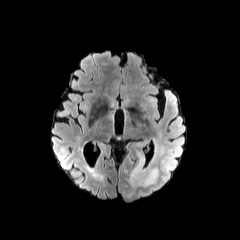
FLAIR magnetic resonance.
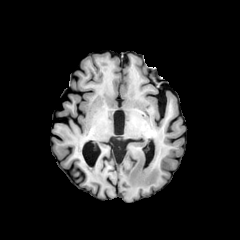
Same slice, T1-weighted MRI.
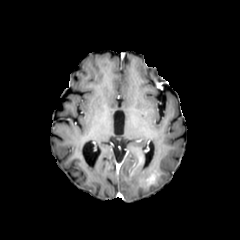
Post-contrast T1-weighted MR.
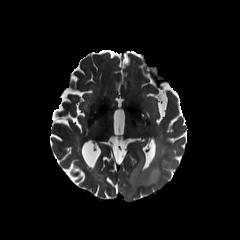
Same slice, T2-weighted MR image.
Brain
enhancing tumor: (left=130, top=157, right=158, bottom=185)
peritumoral edema: (left=127, top=150, right=160, bottom=191)